Axial slice
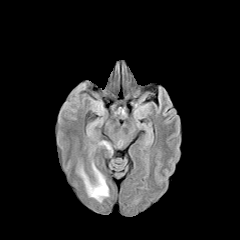
FLAIR MR.
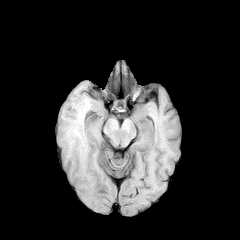
T1-weighted MR.
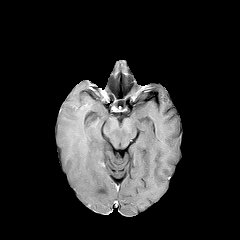
Same slice, post-contrast T1-weighted MRI.
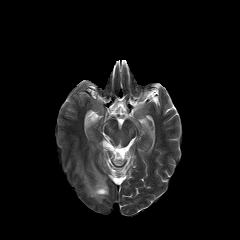
T2-weighted magnetic resonance of the same slice.
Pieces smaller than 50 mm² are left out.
The largest peritumoral edema region lies within rect(80, 165, 108, 201).